Slice 131 of 155 | Head
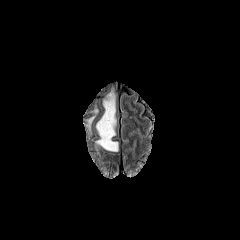
FLAIR MRI.
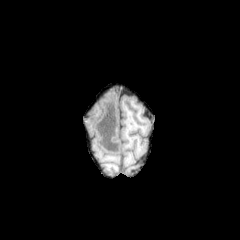
Same slice, T1-weighted MR.
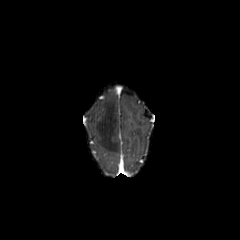
Same slice, post-contrast T1-weighted MR.
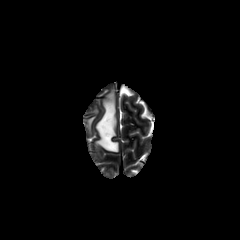
Same slice, T2-weighted MR image.
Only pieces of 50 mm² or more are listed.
peritumoral edema — 96:91:118:151